Brain.
FLAIR magnetic resonance.
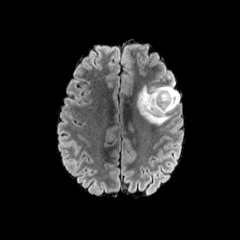
T1-weighted MR.
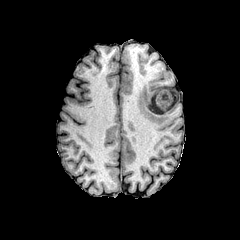
Post-contrast T1-weighted MR.
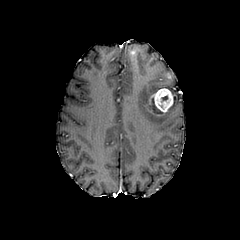
T2-weighted MR.
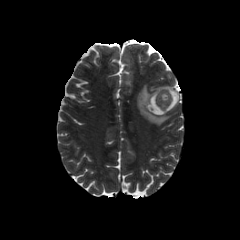
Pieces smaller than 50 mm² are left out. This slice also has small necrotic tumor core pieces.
{"peritumoral_edema": ["(136,70,180,128)"], "enhancing_tumor": ["(145,88,177,116)"]}